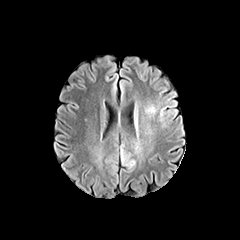
FLAIR magnetic resonance.
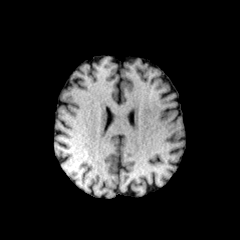
Same slice, T1-weighted MR.
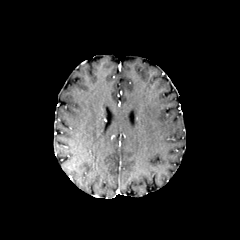
Same slice, post-contrast T1-weighted MRI.
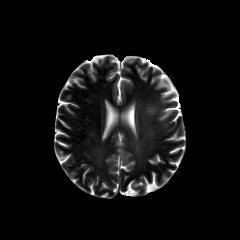
T2-weighted magnetic resonance.
Axial plane. Head. Image size 240x240.
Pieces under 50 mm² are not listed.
peritumoral edema: (145, 106, 156, 117)